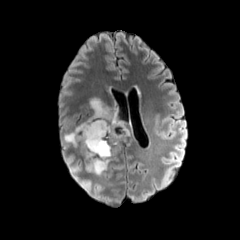
FLAIR MRI.
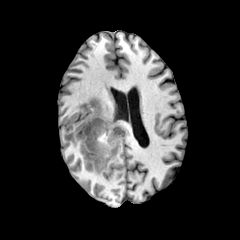
Same slice, T1-weighted MRI.
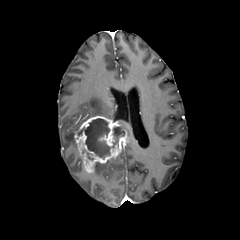
Same slice, post-contrast T1-weighted magnetic resonance.
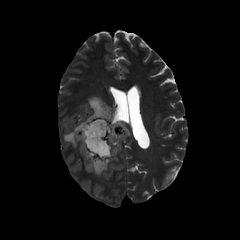
T2-weighted MR image.
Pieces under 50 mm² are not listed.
Findings:
* necrotic tumor core: (78, 118, 124, 159)
* enhancing tumor: (74, 115, 127, 172)
* peritumoral edema: (64, 122, 82, 146), (87, 97, 117, 119), (94, 161, 109, 175)